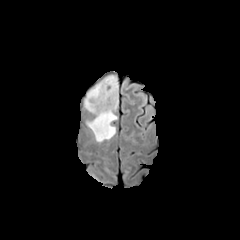
FLAIR MRI.
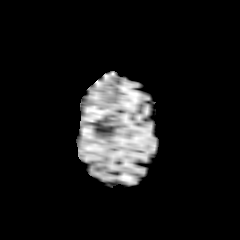
T1-weighted MR.
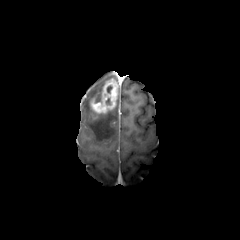
Post-contrast T1-weighted MRI of the same slice.
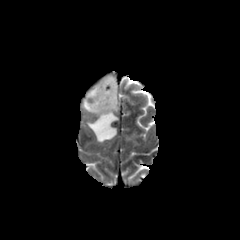
Same slice, T2-weighted MR.
Image size 240x240 | Axial slice
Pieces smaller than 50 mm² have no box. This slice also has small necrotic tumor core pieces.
The enhancing tumor is located at <box>91,79,118,113</box>. The 2 largest peritumoral edema regions are located at <box>85,75,115,111</box>, <box>87,110,116,142</box>.